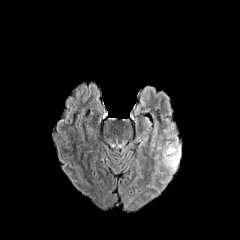
FLAIR magnetic resonance.
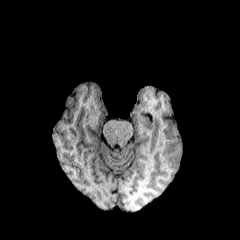
Same slice, T1-weighted MRI.
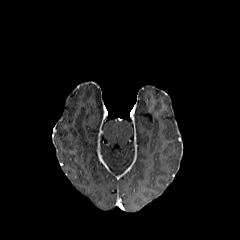
Post-contrast T1-weighted MR of the same slice.
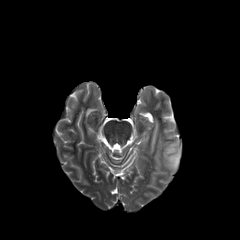
Same slice, T2-weighted MR.
The peritumoral edema is at x1=158, y1=139, x2=180, y2=172.